FLAIR MRI.
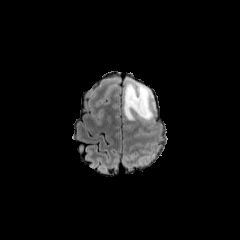
T1-weighted magnetic resonance.
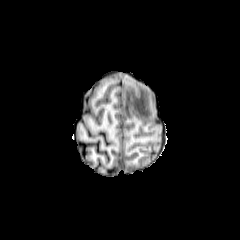
Post-contrast T1-weighted MR.
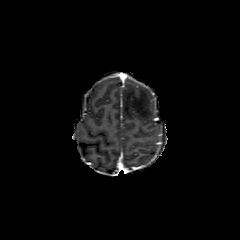
T2-weighted magnetic resonance.
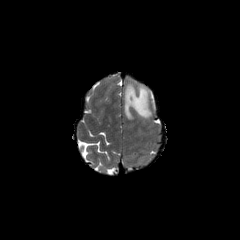
Brain.
peritumoral edema: bbox(124, 81, 154, 120)